FLAIR MRI.
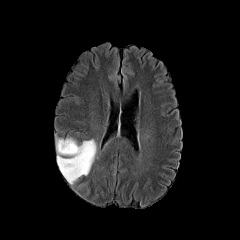
T1-weighted MR image.
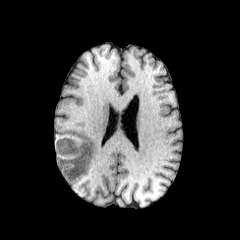
Post-contrast T1-weighted MR.
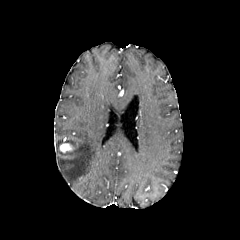
T2-weighted MRI.
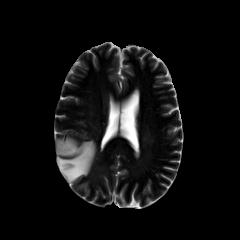
Axial view; 240x240 px; Brain
peritumoral edema = [x1=56, y1=138, x2=96, y2=184]
enhancing tumor = [x1=60, y1=142, x2=73, y2=152]